Brain | Axial plane
FLAIR magnetic resonance.
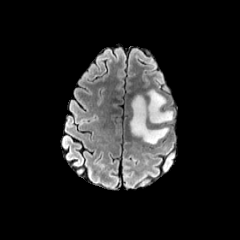
T1-weighted magnetic resonance.
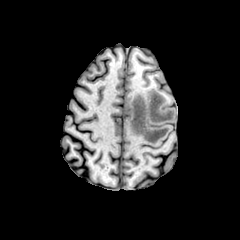
Post-contrast T1-weighted MR.
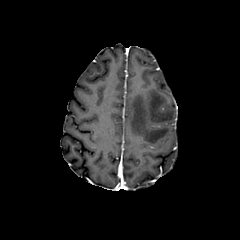
T2-weighted MR.
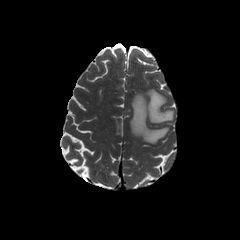
<segmentation>
  <peritumoral_edema>(left=129, top=89, right=173, bottom=144)</peritumoral_edema>
</segmentation>